FLAIR magnetic resonance.
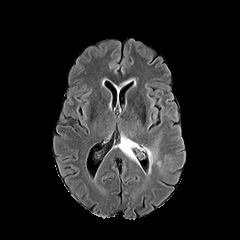
T1-weighted MR image.
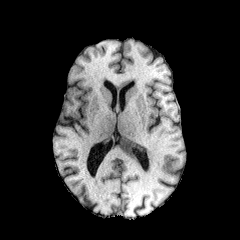
Post-contrast T1-weighted MR image.
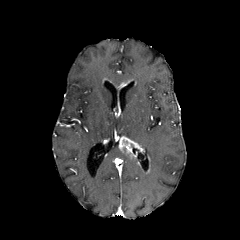
T2-weighted MR image.
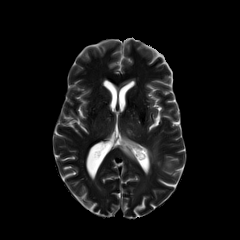
Head
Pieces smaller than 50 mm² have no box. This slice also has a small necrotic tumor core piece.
• enhancing tumor: (x1=119, y1=136, x2=146, y2=160)
• peritumoral edema: (x1=144, y1=147, x2=156, y2=163)